Axial view. Head. Slice 94/155.
FLAIR magnetic resonance.
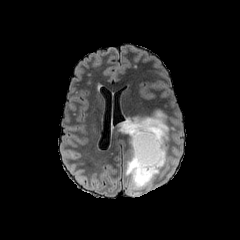
T1-weighted magnetic resonance.
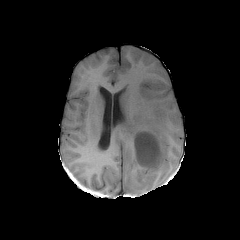
Post-contrast T1-weighted MRI.
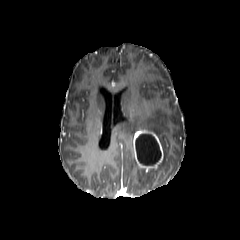
T2-weighted magnetic resonance.
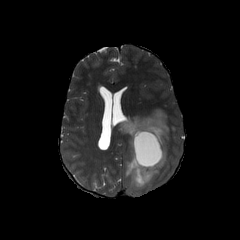
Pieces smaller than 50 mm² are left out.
<segmentation>
  <necrotic_tumor_core>[x1=135, y1=133, x2=161, y2=165]</necrotic_tumor_core>
  <peritumoral_edema>[x1=120, y1=109, x2=171, y2=189]</peritumoral_edema>
  <enhancing_tumor>[x1=133, y1=130, x2=163, y2=172]</enhancing_tumor>
</segmentation>